Image size 240x240; Slice 48 of 155; Axial view
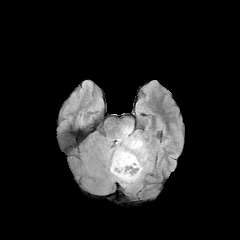
FLAIR magnetic resonance.
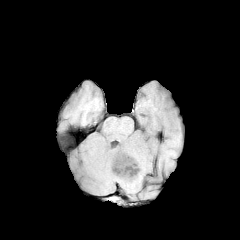
Same slice, T1-weighted MR.
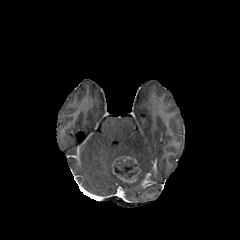
Post-contrast T1-weighted magnetic resonance.
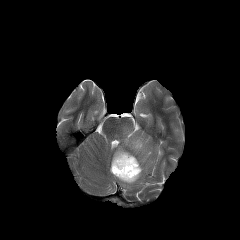
T2-weighted MR.
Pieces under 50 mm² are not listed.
enhancing tumor: bounding box box=[112, 155, 140, 182]
necrotic tumor core: bounding box box=[114, 159, 138, 178]
peritumoral edema: bounding box box=[104, 124, 152, 189]